Head. 240x240.
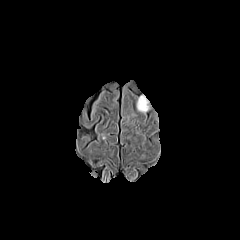
FLAIR MR.
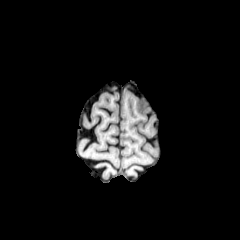
Same slice, T1-weighted MR image.
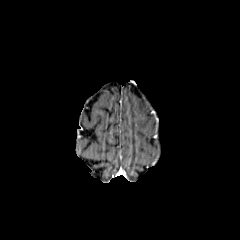
Post-contrast T1-weighted magnetic resonance of the same slice.
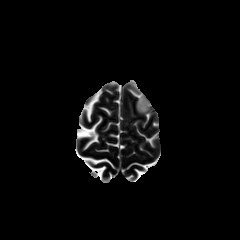
T2-weighted MRI of the same slice.
{"peritumoral_edema": ["137:94:149:112"]}